FLAIR MR.
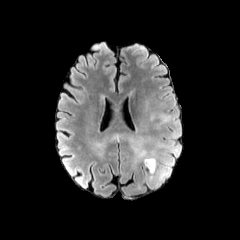
T1-weighted MRI.
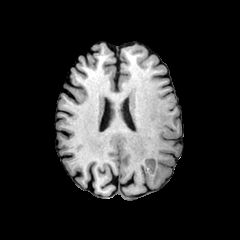
Post-contrast T1-weighted magnetic resonance.
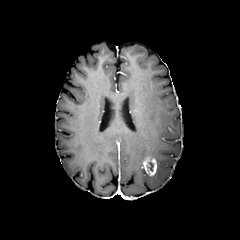
T2-weighted magnetic resonance.
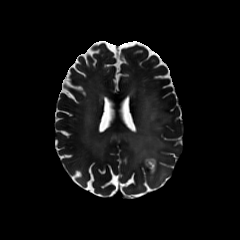
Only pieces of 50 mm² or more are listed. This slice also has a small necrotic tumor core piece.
enhancing tumor: (x1=143, y1=158, x2=156, y2=175) | peritumoral edema: (x1=129, y1=137, x2=168, y2=184)